FLAIR MRI.
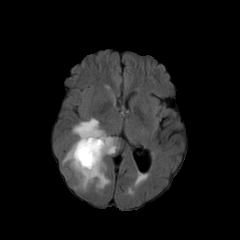
T1-weighted MR image.
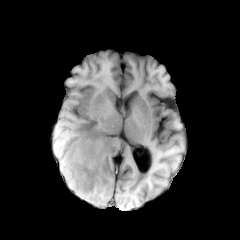
Post-contrast T1-weighted magnetic resonance.
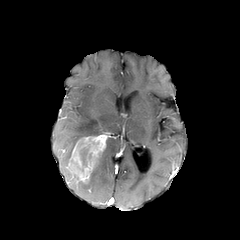
T2-weighted magnetic resonance.
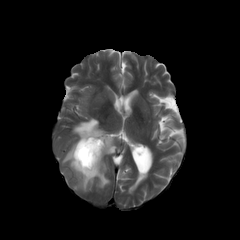
Head. Axial slice. 240x240 px.
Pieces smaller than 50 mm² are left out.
<segmentation>
  <necrotic_tumor_core>[x1=80, y1=148, x2=88, y2=165]</necrotic_tumor_core>
  <enhancing_tumor>[x1=67, y1=133, x2=108, y2=183]</enhancing_tumor>
  <peritumoral_edema>[x1=74, y1=136, x2=117, y2=190], [x1=62, y1=118, x2=105, y2=163]</peritumoral_edema>
</segmentation>